FLAIR magnetic resonance.
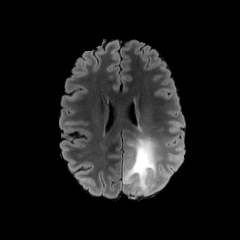
T1-weighted magnetic resonance.
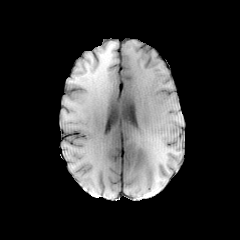
Post-contrast T1-weighted MR image.
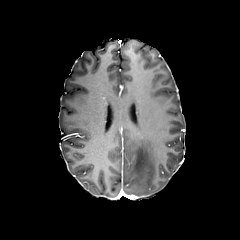
T2-weighted MR image.
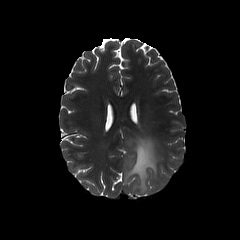
Axial plane.
peritumoral edema = (left=123, top=137, right=169, bottom=194)